Axial slice
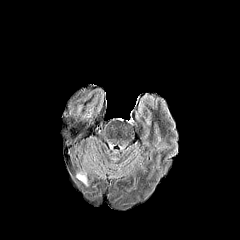
FLAIR MR.
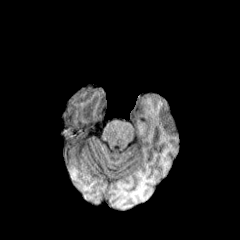
T1-weighted MR.
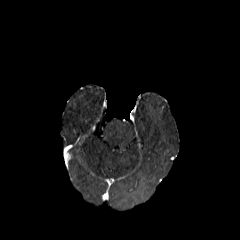
Post-contrast T1-weighted MRI.
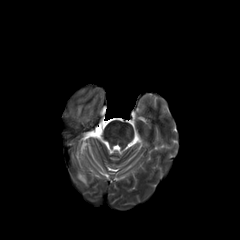
T2-weighted MR.
{"peritumoral_edema": ["l=77, t=172, r=86, b=184"]}